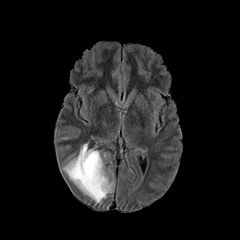
FLAIR MR.
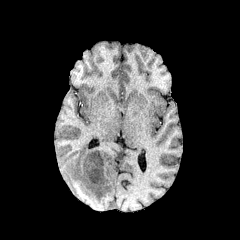
Same slice, T1-weighted MR image.
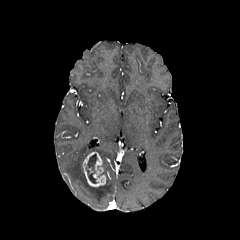
Post-contrast T1-weighted MRI.
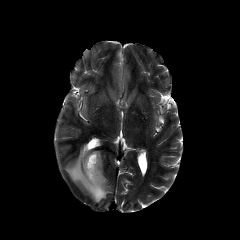
T2-weighted MR.
Axial slice, 240x240 px, Brain
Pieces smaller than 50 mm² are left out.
peritumoral edema: [x1=63, y1=143, x2=113, y2=203]
necrotic tumor core: [x1=86, y1=154, x2=97, y2=183]
enhancing tumor: [x1=82, y1=151, x2=105, y2=187]